FLAIR MR image.
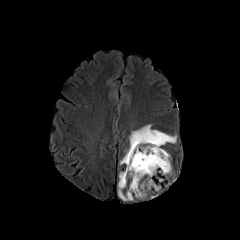
T1-weighted MRI.
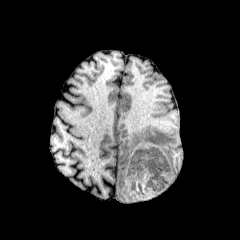
Post-contrast T1-weighted MRI.
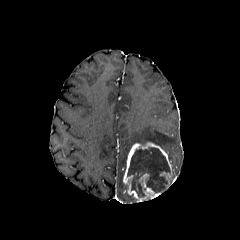
T2-weighted magnetic resonance.
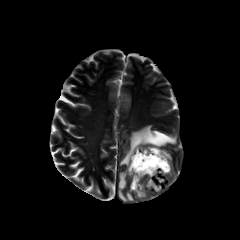
Axial view
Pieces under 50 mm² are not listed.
Annotated regions:
* necrotic tumor core: box(127, 148, 169, 197)
* peritumoral edema: box(120, 124, 176, 164); box(118, 171, 133, 201)
* enhancing tumor: box(123, 142, 173, 200)